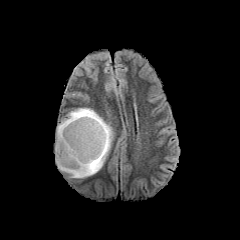
FLAIR MRI.
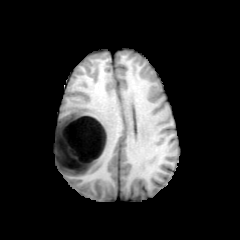
T1-weighted MR.
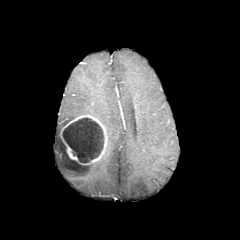
Post-contrast T1-weighted MRI.
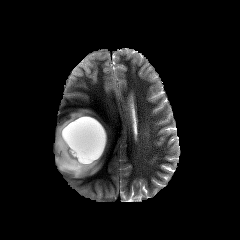
T2-weighted magnetic resonance of the same slice.
Head; Image size 240x240
enhancing tumor: [x1=60, y1=115, x2=107, y2=164] | peritumoral edema: [x1=55, y1=108, x2=112, y2=178] | necrotic tumor core: [x1=62, y1=117, x2=103, y2=163]